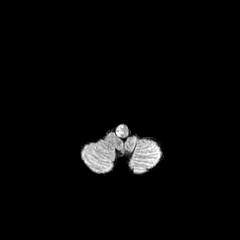
FLAIR MR image.
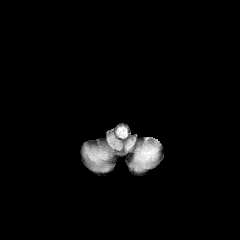
Same slice, T1-weighted magnetic resonance.
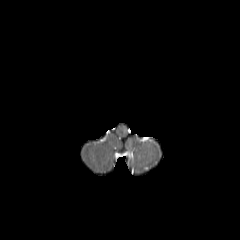
Post-contrast T1-weighted MR image of the same slice.
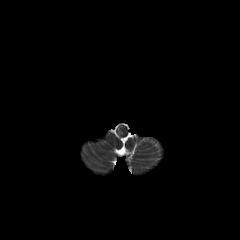
T2-weighted MR.
Axial plane; Head
{
  "peritumoral_edema": [
    "[x1=116, y1=125, x2=122, y2=135]"
  ]
}